Slice 85 of 155. Axial plane. Brain.
FLAIR magnetic resonance.
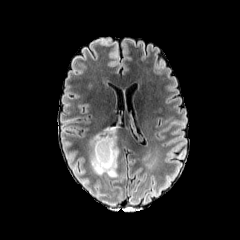
T1-weighted MR image.
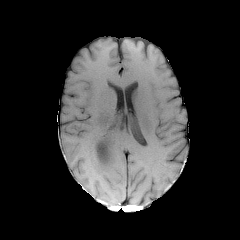
Post-contrast T1-weighted MR.
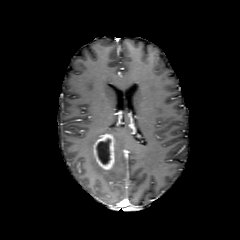
T2-weighted MR.
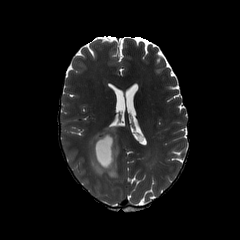
Segmented structures:
• peritumoral edema: rect(90, 127, 119, 177)
• enhancing tumor: rect(93, 132, 114, 170)
• necrotic tumor core: rect(96, 139, 110, 164)